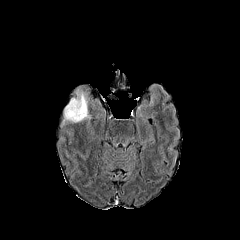
FLAIR MR.
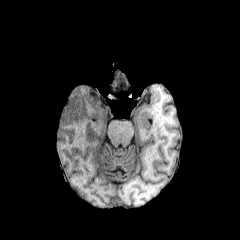
T1-weighted MRI.
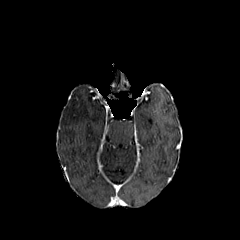
Post-contrast T1-weighted magnetic resonance.
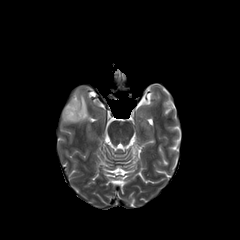
T2-weighted MR image.
peritumoral_edema:
  - region(63, 89, 90, 122)